FLAIR MRI.
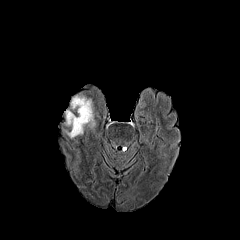
T1-weighted MR.
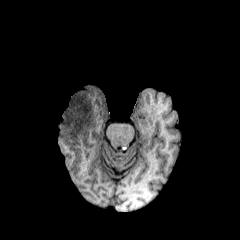
Post-contrast T1-weighted MRI.
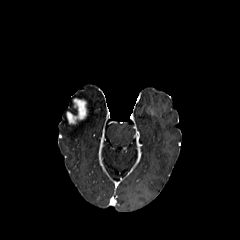
T2-weighted magnetic resonance.
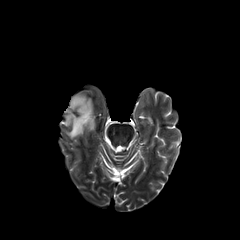
Axial view | Brain
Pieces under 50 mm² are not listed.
Findings:
• peritumoral edema: bbox=[63, 93, 95, 138]
• enhancing tumor: bbox=[66, 98, 87, 124]